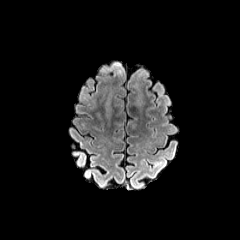
FLAIR MR.
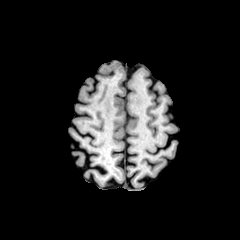
T1-weighted MR of the same slice.
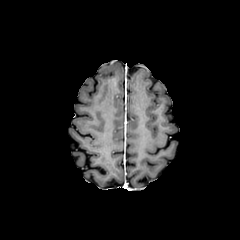
Post-contrast T1-weighted MR image.
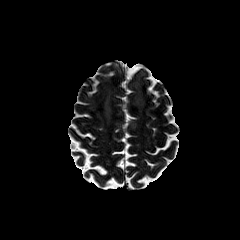
T2-weighted MRI.
Head; Axial view
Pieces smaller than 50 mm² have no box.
peritumoral edema: <bbox>112, 62, 122, 74</bbox>